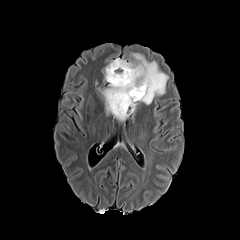
FLAIR MR image.
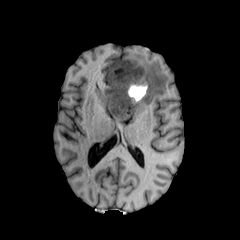
Same slice, T1-weighted MRI.
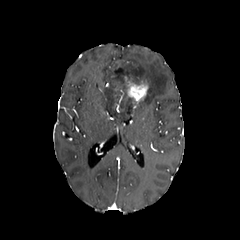
Post-contrast T1-weighted MRI.
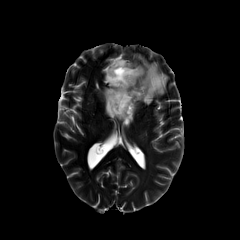
T2-weighted MR image.
Image size 240x240. Axial slice.
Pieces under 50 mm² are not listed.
enhancing tumor: <box>124,76,148,108</box> | necrotic tumor core: <box>109,62,131,102</box> | peritumoral edema: <box>128,52,168,104</box>, <box>99,58,136,123</box>